Brain, Slice 109 of 155
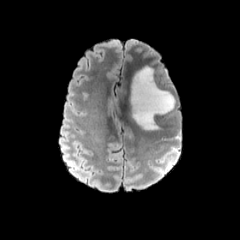
FLAIR MR image.
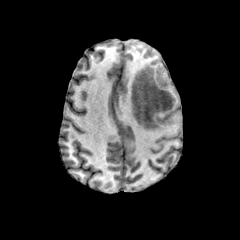
T1-weighted MRI.
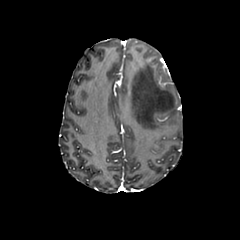
Post-contrast T1-weighted MR image.
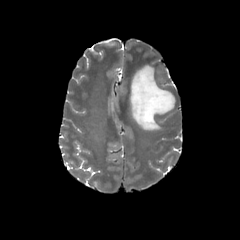
T2-weighted magnetic resonance.
peritumoral_edema:
  - rect(130, 66, 175, 130)